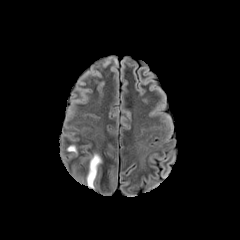
FLAIR MRI.
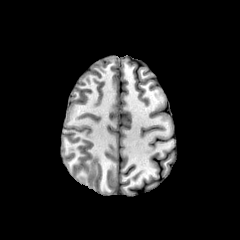
T1-weighted magnetic resonance.
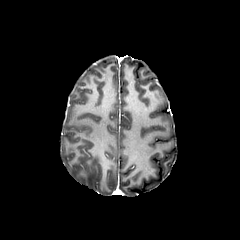
Post-contrast T1-weighted MR of the same slice.
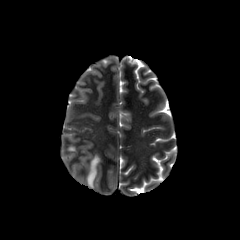
T2-weighted MR.
240x240
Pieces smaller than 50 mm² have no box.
peritumoral edema = x1=86, y1=154, x2=101, y2=188